Image width 240 mm, 1.00 mm slice spacing. Slice index 82. Brain.
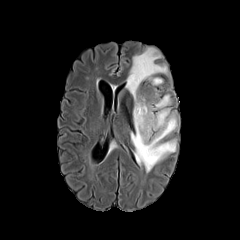
FLAIR magnetic resonance.
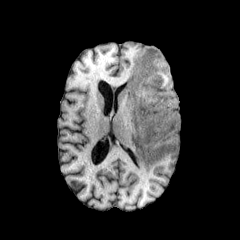
T1-weighted MR.
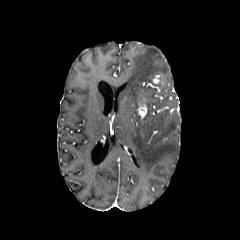
Post-contrast T1-weighted MRI.
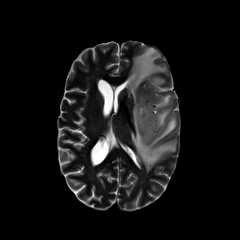
T2-weighted MR.
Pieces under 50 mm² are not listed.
The largest peritumoral edema region is located at <box>126,47,176,172</box>. 2 enhancing tumor regions are located at <box>137,99,147,118</box>, <box>152,76,159,83</box>.